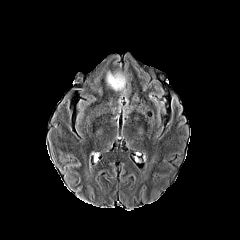
FLAIR MR.
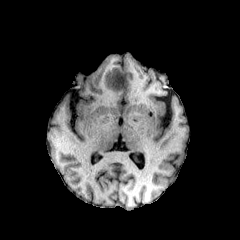
Same slice, T1-weighted MRI.
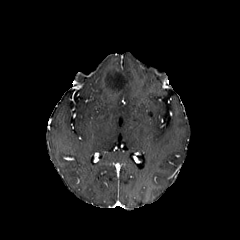
Post-contrast T1-weighted magnetic resonance.
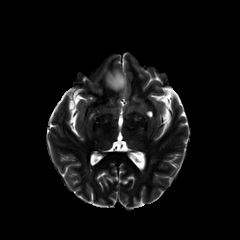
T2-weighted MR image.
Brain | Axial slice | 240x240 px
<segmentation>
  <peritumoral_edema>(left=106, top=72, right=125, bottom=91)</peritumoral_edema>
</segmentation>